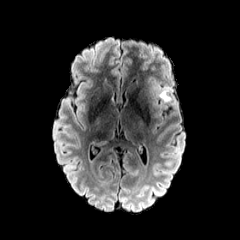
FLAIR MR image.
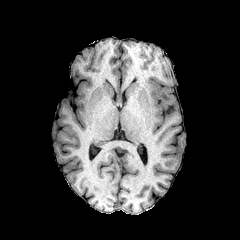
Same slice, T1-weighted magnetic resonance.
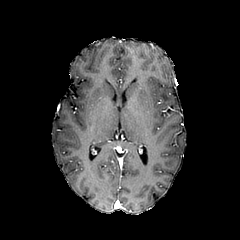
Post-contrast T1-weighted MR.
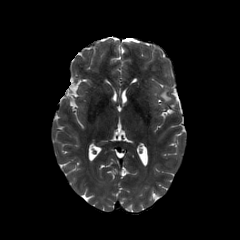
T2-weighted MR image.
240x240, Head, Axial view
The peritumoral edema is located at rect(158, 86, 172, 102).